FLAIR MR.
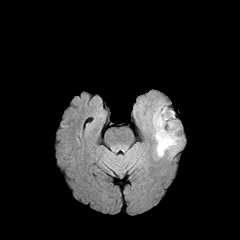
T1-weighted MR image.
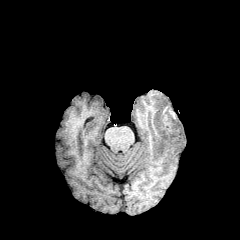
Post-contrast T1-weighted MR.
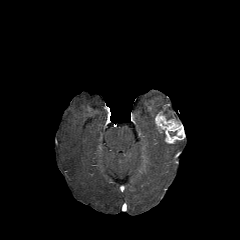
T2-weighted MR.
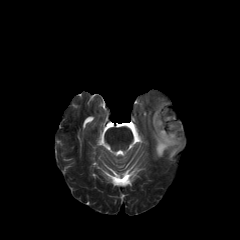
Axial slice
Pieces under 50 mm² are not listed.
The enhancing tumor is at l=155, t=104, r=185, b=143. The largest necrotic tumor core region is at l=164, t=109, r=172, b=119. The peritumoral edema appears at l=152, t=101, r=182, b=157.